FLAIR MRI.
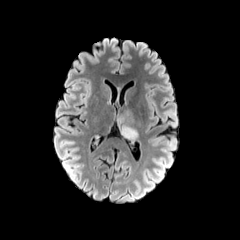
T1-weighted MRI.
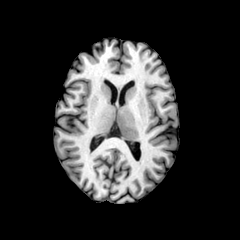
Post-contrast T1-weighted MR.
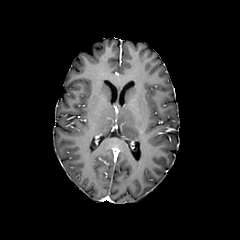
T2-weighted magnetic resonance.
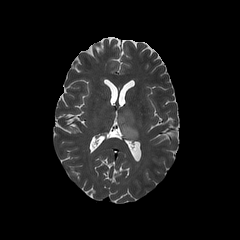
240x240, Axial plane
peritumoral edema: <bbox>118, 109, 138, 140</bbox>